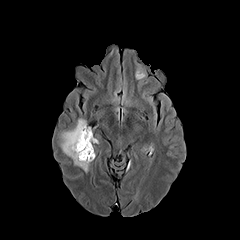
FLAIR MR.
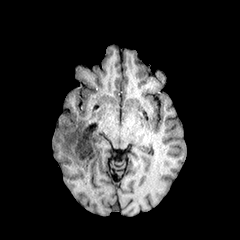
T1-weighted magnetic resonance.
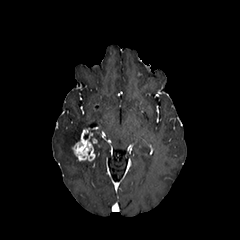
Post-contrast T1-weighted MRI.
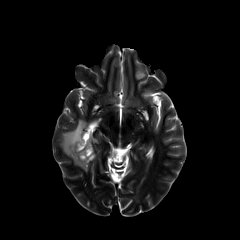
T2-weighted MR image.
240x240 | Head | Axial plane
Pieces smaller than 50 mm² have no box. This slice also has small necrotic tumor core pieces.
peritumoral edema: box=[60, 118, 90, 171]; box=[135, 69, 144, 79] | enhancing tumor: box=[72, 128, 95, 161]